FLAIR magnetic resonance.
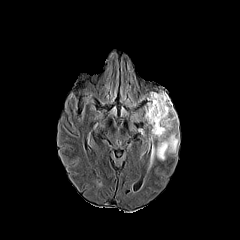
T1-weighted magnetic resonance.
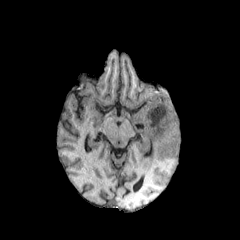
Post-contrast T1-weighted MR.
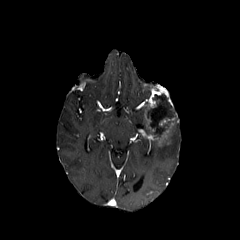
T2-weighted MR.
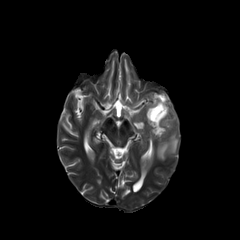
Image size 240x240. Brain.
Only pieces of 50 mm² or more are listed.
necrotic_tumor_core:
  - 147 94 175 136
enhancing_tumor:
  - 144 87 177 146
peritumoral_edema:
  - 155 124 179 160